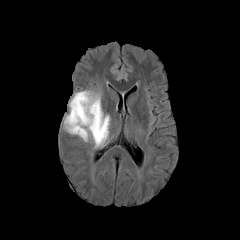
FLAIR magnetic resonance.
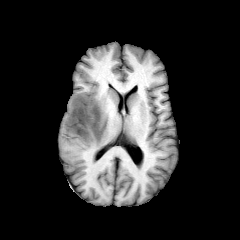
T1-weighted MR of the same slice.
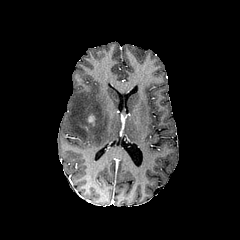
Same slice, post-contrast T1-weighted MR.
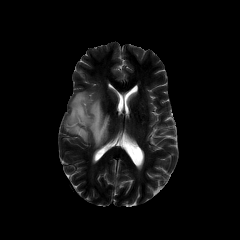
Same slice, T2-weighted MR image.
240x240 px
The peritumoral edema is bounded by {"x1": 64, "y1": 91, "x2": 109, "y2": 147}. The enhancing tumor is bounded by {"x1": 87, "y1": 115, "x2": 95, "y2": 125}.